Slice 71 of 155; Axial plane; Image width 240 mm
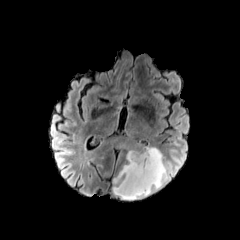
FLAIR MR.
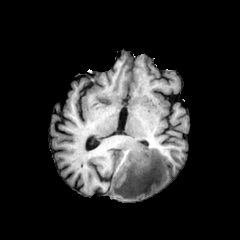
T1-weighted MR image.
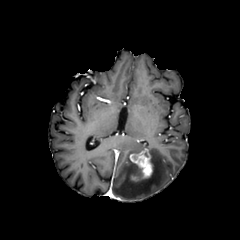
Same slice, post-contrast T1-weighted MR.
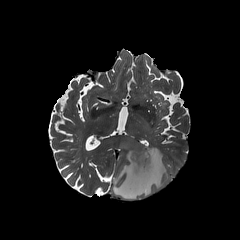
T2-weighted MR.
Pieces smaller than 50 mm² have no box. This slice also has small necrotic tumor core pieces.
{
  "enhancing_tumor": [
    "(129,148,153,181)"
  ],
  "peritumoral_edema": [
    "(112,147,167,200)"
  ]
}